FLAIR magnetic resonance.
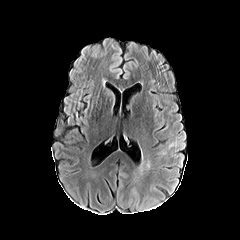
T1-weighted magnetic resonance.
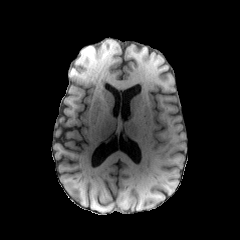
Post-contrast T1-weighted magnetic resonance.
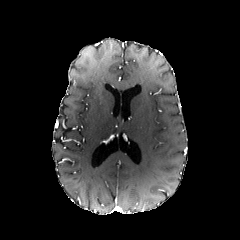
T2-weighted MRI.
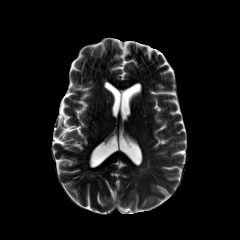
Axial plane. Brain.
peritumoral edema: 155, 149, 166, 157; 167, 141, 176, 150